Brain, Slice 57 of 155, Image width 240 mm, 1.00 mm slice spacing
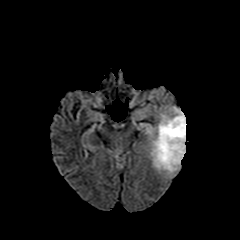
FLAIR MR.
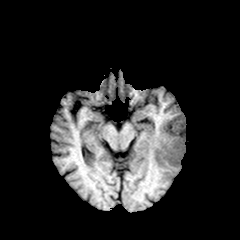
T1-weighted magnetic resonance.
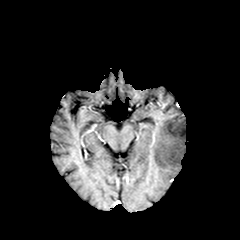
Post-contrast T1-weighted MRI.
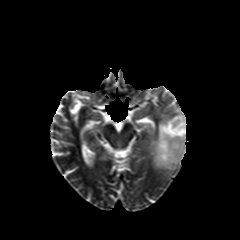
T2-weighted MRI of the same slice.
The peritumoral edema lies within <bbox>150, 106, 186, 172</bbox>.